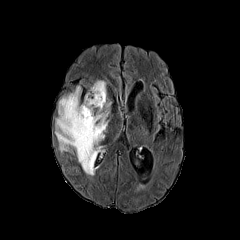
FLAIR MR.
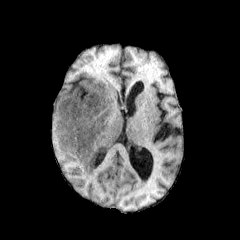
Same slice, T1-weighted MR.
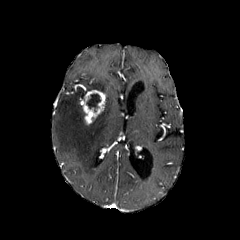
Same slice, post-contrast T1-weighted magnetic resonance.
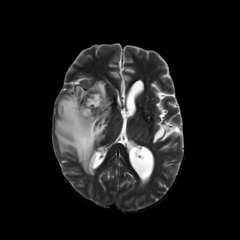
T2-weighted magnetic resonance.
Brain; 240x240 px; Axial view
<segmentation>
  <enhancing_tumor>{"x1": 82, "y1": 90, "x2": 105, "y2": 124}</enhancing_tumor>
  <peritumoral_edema>{"x1": 55, "y1": 80, "x2": 111, "y2": 175}</peritumoral_edema>
  <necrotic_tumor_core>{"x1": 87, "y1": 94, "x2": 100, "y2": 111}</necrotic_tumor_core>
</segmentation>